FLAIR MR image.
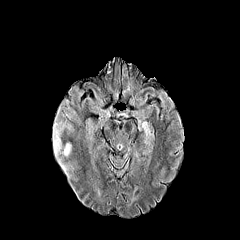
T1-weighted MR image.
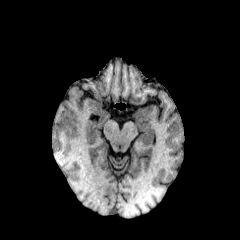
Post-contrast T1-weighted magnetic resonance.
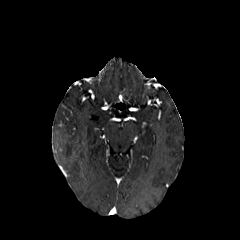
T2-weighted MR.
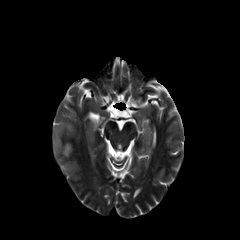
Head
{"peritumoral_edema": ["(x1=63, y1=143, x2=70, y2=155)", "(x1=53, y1=125, x2=61, y2=148)"]}